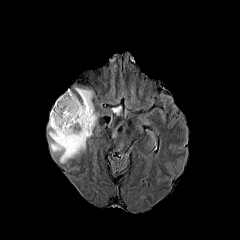
FLAIR MR image.
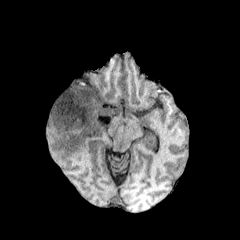
T1-weighted MR of the same slice.
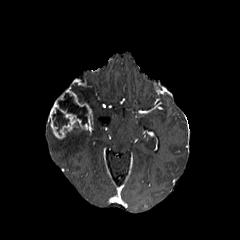
Same slice, post-contrast T1-weighted MRI.
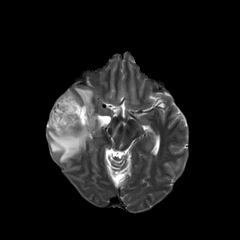
T2-weighted MRI.
Axial view. Brain.
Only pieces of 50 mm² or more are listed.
enhancing tumor: <bbox>48, 89, 93, 139</bbox>
necrotic tumor core: <bbox>58, 93, 87, 124</bbox>, <bbox>53, 108, 68, 131</bbox>
peritumoral edema: <bbox>47, 123, 91, 162</bbox>, <bbox>74, 87, 97, 128</bbox>